240x240 px, Image width 240 mm, Slice 73 of 155
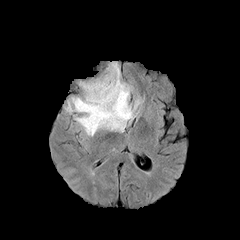
FLAIR MR image.
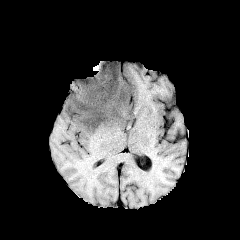
T1-weighted MR.
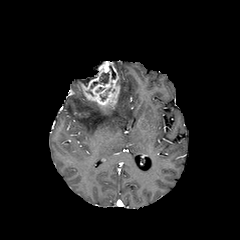
Post-contrast T1-weighted MR of the same slice.
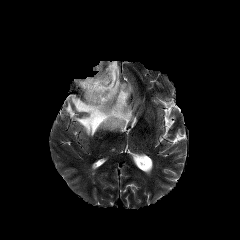
T2-weighted MR of the same slice.
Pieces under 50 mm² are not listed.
peritumoral_edema:
  - box(66, 82, 142, 136)
necrotic_tumor_core:
  - box(99, 72, 109, 84)
enhancing_tumor:
  - box(79, 61, 120, 112)